Axial slice; Brain
FLAIR MR image.
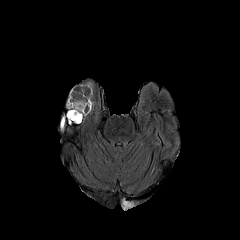
T1-weighted MR.
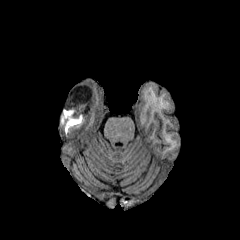
Post-contrast T1-weighted magnetic resonance.
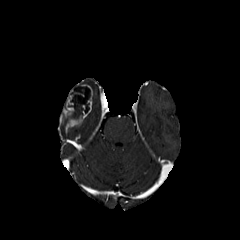
T2-weighted magnetic resonance.
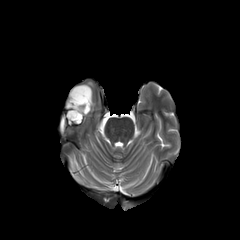
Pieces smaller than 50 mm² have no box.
<segmentation>
  <necrotic_tumor_core>box(67, 85, 90, 122)</necrotic_tumor_core>
  <peritumoral_edema>box(60, 116, 64, 130)</peritumoral_edema>
  <enhancing_tumor>box(80, 84, 92, 121); box(66, 89, 73, 112)</enhancing_tumor>
</segmentation>